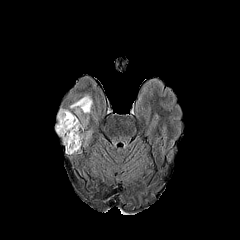
FLAIR MR image.
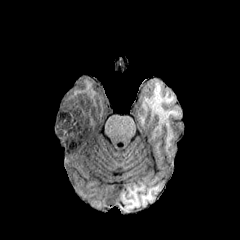
T1-weighted MRI.
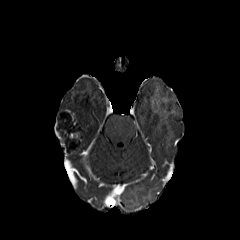
Post-contrast T1-weighted MR image of the same slice.
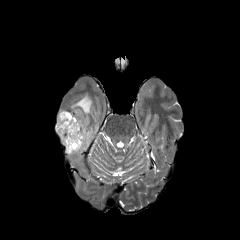
T2-weighted MR.
Axial slice; Brain
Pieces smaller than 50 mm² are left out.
The largest peritumoral edema region is bounded by [70, 95, 92, 131]. The 2 largest enhancing tumor regions appear at [66, 110, 76, 124], [55, 127, 66, 153]. The largest necrotic tumor core region lies within [56, 112, 86, 153].